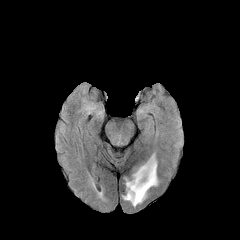
FLAIR MR.
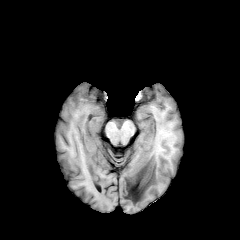
Same slice, T1-weighted magnetic resonance.
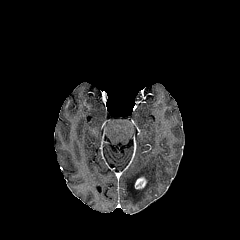
Post-contrast T1-weighted MR.
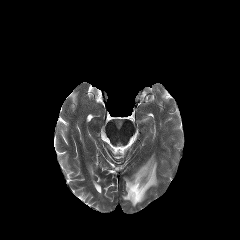
T2-weighted magnetic resonance.
Axial slice
The peritumoral edema is at (123,155,157,206). The enhancing tumor is bounded by (134,177,146,189).